FLAIR MRI.
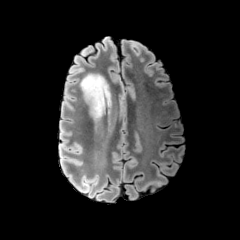
T1-weighted magnetic resonance.
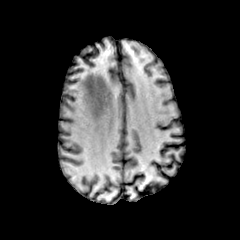
Post-contrast T1-weighted magnetic resonance.
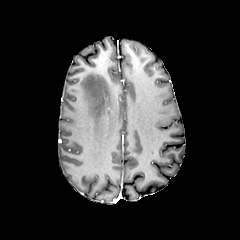
T2-weighted magnetic resonance.
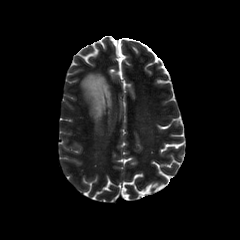
Axial view. Head.
The peritumoral edema is at bbox=[80, 73, 111, 120].